FLAIR MRI.
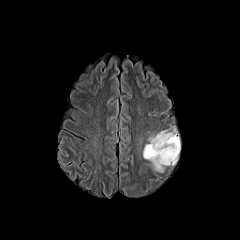
T1-weighted magnetic resonance.
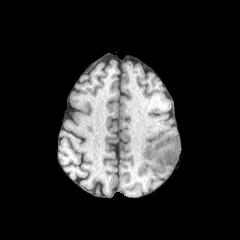
Post-contrast T1-weighted MR image.
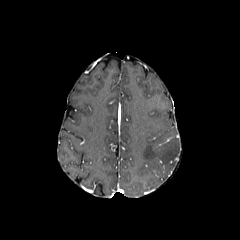
T2-weighted MRI.
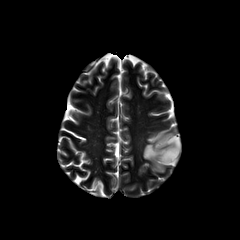
- peritumoral edema: box(143, 129, 180, 172)